Head; Image covers 240 mm x 240 mm; Image size 240x240
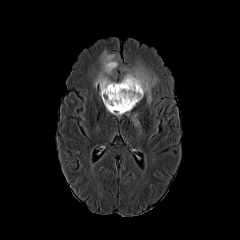
FLAIR MR image.
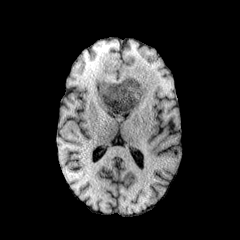
T1-weighted magnetic resonance.
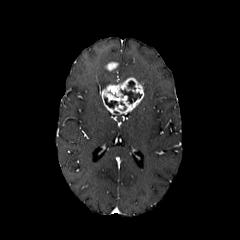
Same slice, post-contrast T1-weighted MR.
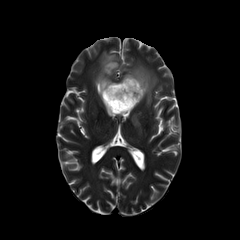
T2-weighted MRI of the same slice.
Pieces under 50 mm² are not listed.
The 2 largest necrotic tumor core regions appear at x1=104 y1=97 x2=117 y2=108, x1=121 y1=90 x2=141 y2=103. The 2 largest peritumoral edema regions appear at x1=131 y1=114 x2=140 y2=127, x1=94 y1=51 x2=157 y2=104. 2 enhancing tumor regions appear at x1=105 y1=62 x2=118 y2=71, x1=100 y1=77 x2=144 y2=114.